Head; Image width 240 mm
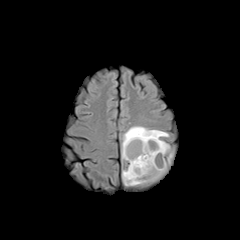
FLAIR MRI.
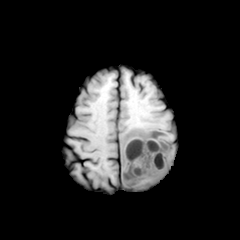
T1-weighted MRI.
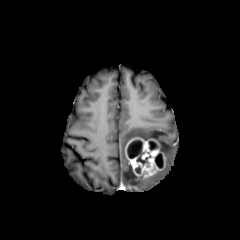
Post-contrast T1-weighted MR image.
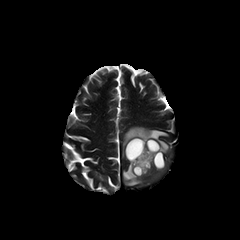
T2-weighted MR image of the same slice.
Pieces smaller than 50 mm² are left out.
enhancing tumor at box(125, 138, 165, 177)
necrotic tumor core at box(127, 140, 142, 158); box(148, 141, 155, 150); box(155, 154, 163, 167)
peritumoral edema at box(122, 126, 172, 185)